Axial slice; 240x240
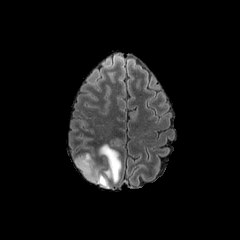
FLAIR MR image.
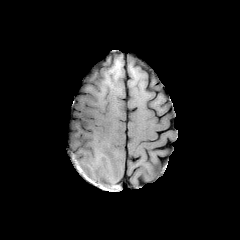
T1-weighted magnetic resonance.
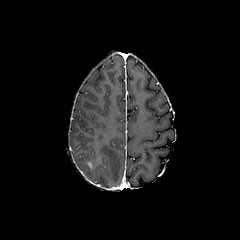
Same slice, post-contrast T1-weighted magnetic resonance.
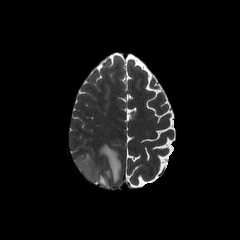
T2-weighted MR image.
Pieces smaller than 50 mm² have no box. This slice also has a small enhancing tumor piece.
<segmentation>
  <peritumoral_edema>l=99, t=144, r=121, b=182; l=75, t=153, r=109, b=187</peritumoral_edema>
</segmentation>